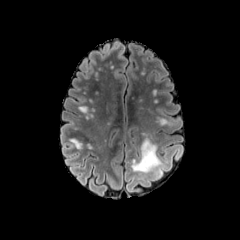
FLAIR MR.
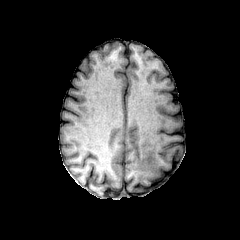
Same slice, T1-weighted magnetic resonance.
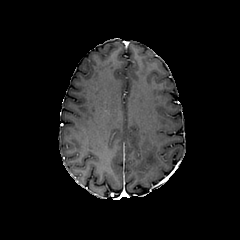
Post-contrast T1-weighted MRI.
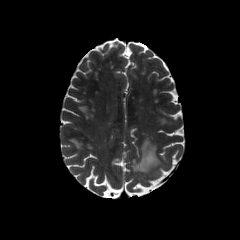
Same slice, T2-weighted MRI.
Brain
peritumoral edema: <bbox>131, 137, 165, 178</bbox>